240x240 px. Axial view. Head.
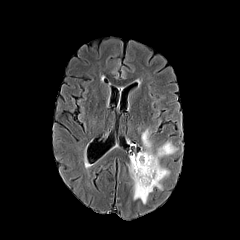
FLAIR MR.
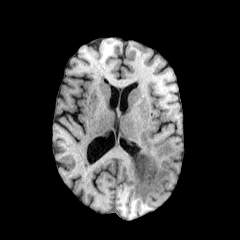
Same slice, T1-weighted MR image.
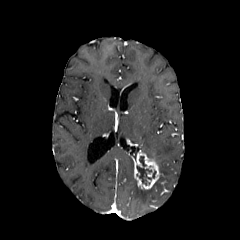
Post-contrast T1-weighted MRI of the same slice.
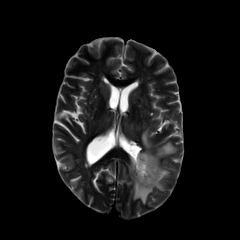
T2-weighted MRI.
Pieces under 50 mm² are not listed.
{
  "peritumoral_edema": [
    "bbox=[128, 128, 176, 203]"
  ],
  "necrotic_tumor_core": [
    "bbox=[136, 156, 151, 185]"
  ],
  "enhancing_tumor": [
    "bbox=[132, 151, 160, 189]"
  ]
}